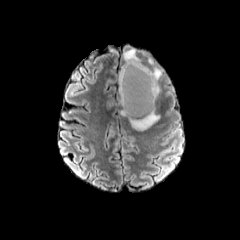
FLAIR MR.
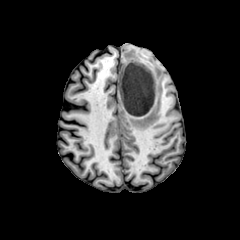
T1-weighted MRI of the same slice.
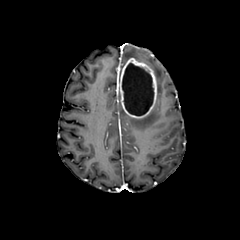
Post-contrast T1-weighted MR image.
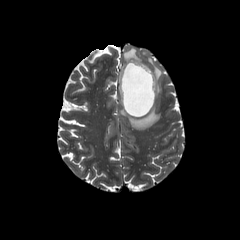
T2-weighted MRI.
Axial slice | Head | 240x240 px
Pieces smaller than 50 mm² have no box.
enhancing tumor: x1=119 y1=58 x2=156 y2=118 | peritumoral edema: x1=148 y1=58 x2=162 y2=96, x1=120 y1=107 x2=159 y2=130, x1=123 y1=47 x2=141 y2=61 | necrotic tumor core: x1=122 y1=63 x2=153 y2=115